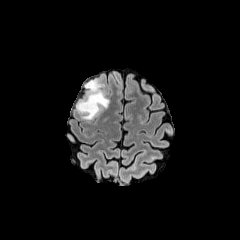
FLAIR MR.
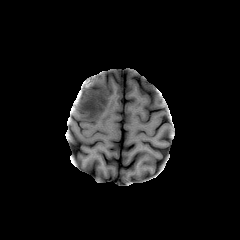
T1-weighted MR image.
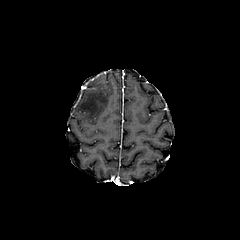
Post-contrast T1-weighted MR image of the same slice.
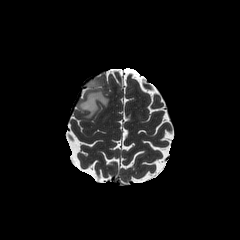
T2-weighted magnetic resonance of the same slice.
240x240 px | Axial slice | Head
peritumoral_edema:
  - 76,79,109,120